Axial view | Image covers 240 mm x 240 mm
FLAIR MR.
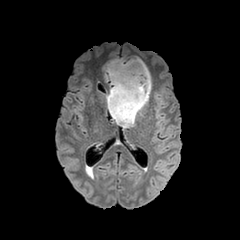
T1-weighted magnetic resonance.
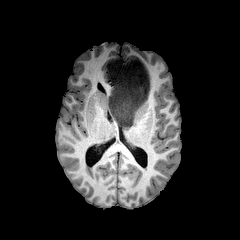
Post-contrast T1-weighted MR.
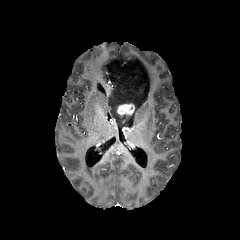
T2-weighted MR image.
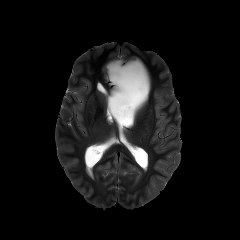
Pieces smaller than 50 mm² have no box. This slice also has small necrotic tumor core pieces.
enhancing tumor — 117,103,134,115
peritumoral edema — 102,57,151,127